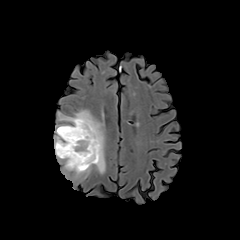
FLAIR MR.
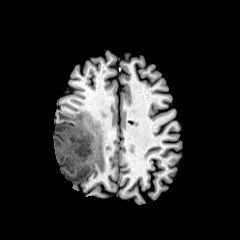
T1-weighted MR.
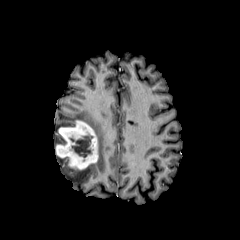
Same slice, post-contrast T1-weighted MRI.
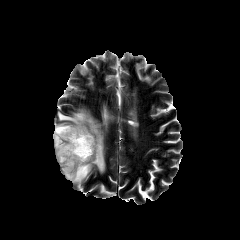
T2-weighted MR image of the same slice.
Axial plane.
<segmentation>
  <necrotic_tumor_core>left=70, top=135, right=92, bottom=157</necrotic_tumor_core>
  <enhancing_tumor>left=56, top=120, right=98, bottom=169</enhancing_tumor>
  <peritumoral_edema>left=54, top=109, right=105, bottom=183</peritumoral_edema>
</segmentation>